Slice 103/155 | Axial slice | Head
FLAIR magnetic resonance.
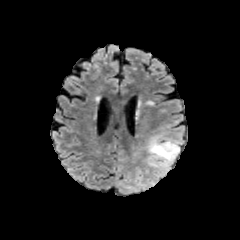
T1-weighted MR image.
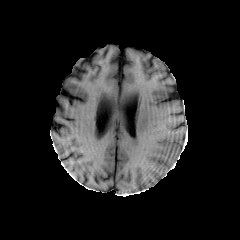
Post-contrast T1-weighted MR image.
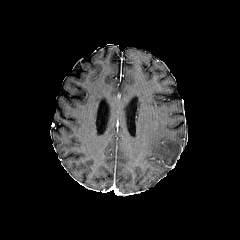
T2-weighted MR image.
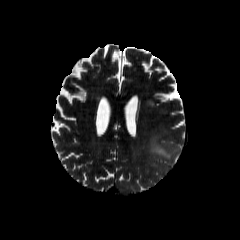
peritumoral_edema:
  - (147,133,179,174)